Slice 48 of 155, Axial view, Image size 240x240
FLAIR MR image.
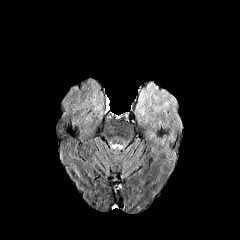
T1-weighted MRI.
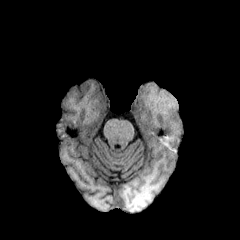
Post-contrast T1-weighted MR.
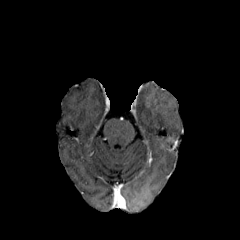
T2-weighted MRI.
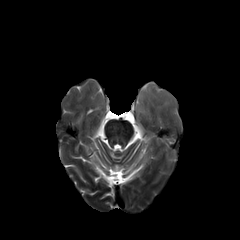
The peritumoral edema is bounded by region(136, 84, 175, 118).